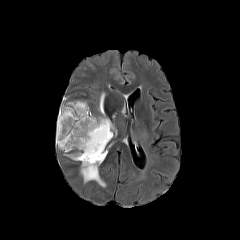
FLAIR MR.
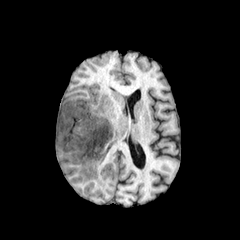
T1-weighted MR image of the same slice.
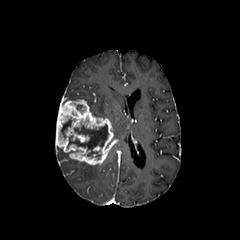
Same slice, post-contrast T1-weighted magnetic resonance.
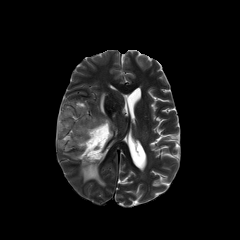
T2-weighted MR of the same slice.
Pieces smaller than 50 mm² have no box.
enhancing tumor: [56, 96, 113, 165] | necrotic tumor core: [61, 119, 71, 138], [67, 124, 108, 159] | peritumoral edema: [111, 112, 117, 135], [99, 92, 106, 118], [80, 162, 105, 187]